Brain, Slice index 66
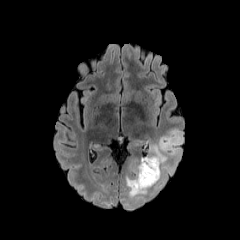
FLAIR MR.
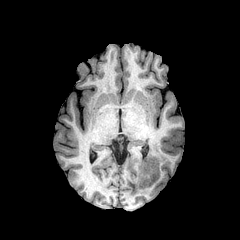
T1-weighted MR image.
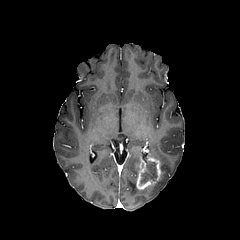
Post-contrast T1-weighted MRI.
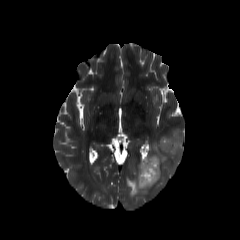
T2-weighted magnetic resonance.
{
  "enhancing_tumor": [
    "x1=136 y1=156 x2=161 y2=189"
  ],
  "necrotic_tumor_core": [
    "x1=141 y1=162 x2=157 y2=183"
  ],
  "peritumoral_edema": [
    "x1=125 y1=129 x2=182 y2=197"
  ]
}